Image size 240x240
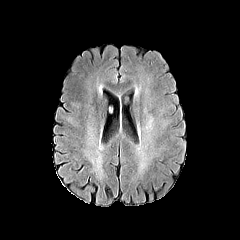
FLAIR MRI.
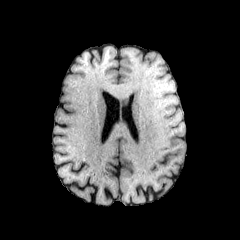
Same slice, T1-weighted MR image.
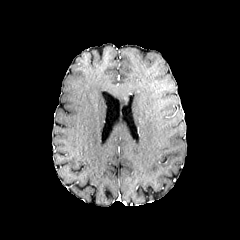
Post-contrast T1-weighted magnetic resonance.
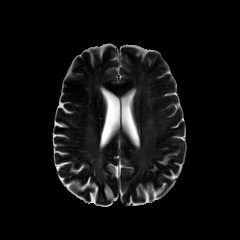
T2-weighted magnetic resonance.
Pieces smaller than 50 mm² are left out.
peritumoral edema: bbox(144, 117, 152, 131)